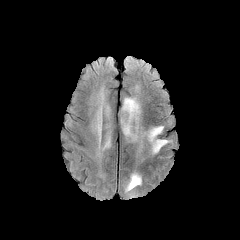
FLAIR MRI.
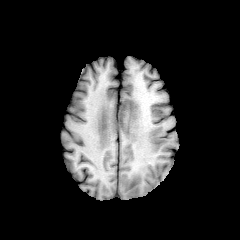
T1-weighted MR.
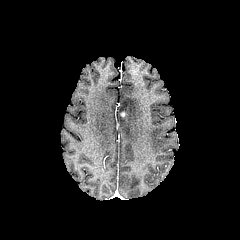
Post-contrast T1-weighted magnetic resonance.
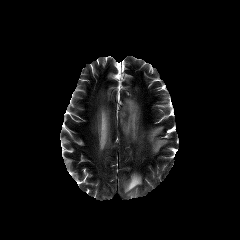
T2-weighted magnetic resonance of the same slice.
Brain, Axial slice
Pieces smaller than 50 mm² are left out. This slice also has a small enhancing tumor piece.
Segmented structures:
- peritumoral edema: region(121, 97, 140, 140); region(95, 105, 110, 149); region(147, 126, 168, 153); region(125, 172, 141, 197)